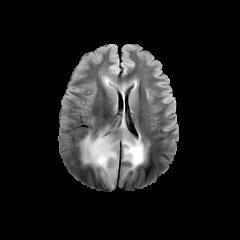
FLAIR magnetic resonance.
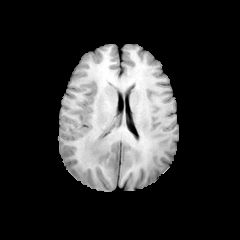
T1-weighted magnetic resonance of the same slice.
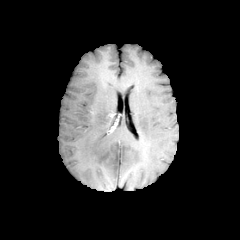
Post-contrast T1-weighted MR image of the same slice.
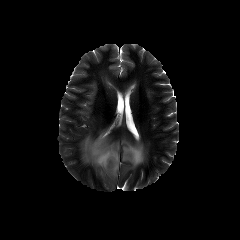
T2-weighted magnetic resonance.
240x240 px, Brain
peritumoral edema: (left=80, top=131, right=118, bottom=178), (left=122, top=137, right=145, bottom=169)